Brain
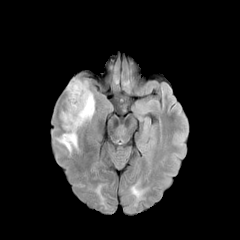
FLAIR MRI.
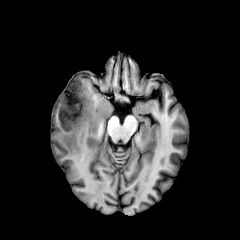
T1-weighted MR.
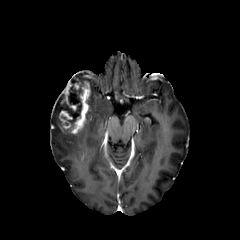
Post-contrast T1-weighted MRI of the same slice.
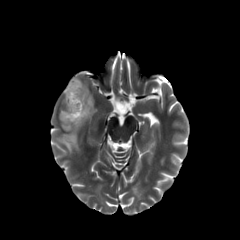
Same slice, T2-weighted magnetic resonance.
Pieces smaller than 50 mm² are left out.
2 peritumoral edema regions appear at box(57, 131, 78, 152); box(86, 91, 95, 120). The largest necrotic tumor core region is at box(64, 84, 82, 130). 2 enhancing tumor regions appear at box(60, 79, 90, 133); box(59, 109, 72, 129).